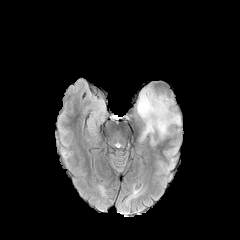
FLAIR MRI.
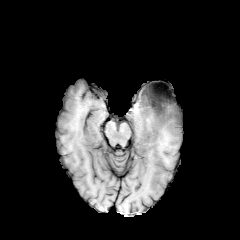
T1-weighted magnetic resonance.
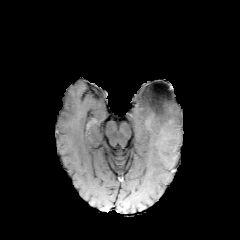
Post-contrast T1-weighted MR image.
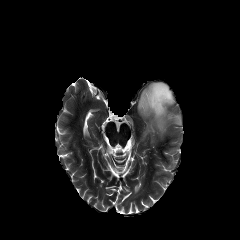
T2-weighted MR of the same slice.
240x240.
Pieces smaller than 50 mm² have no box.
The necrotic tumor core is at <bbox>144, 83, 172, 115</bbox>. The largest peritumoral edema region appears at <bbox>137, 85, 181, 139</bbox>.